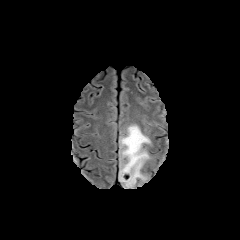
FLAIR magnetic resonance.
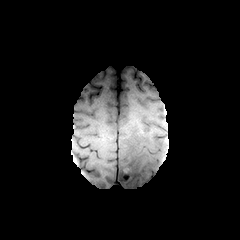
T1-weighted magnetic resonance.
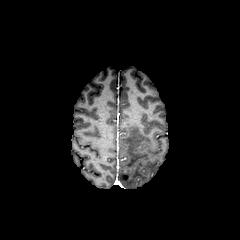
Post-contrast T1-weighted MRI.
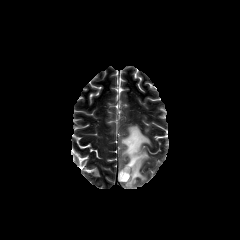
Same slice, T2-weighted MR.
Axial slice, Head
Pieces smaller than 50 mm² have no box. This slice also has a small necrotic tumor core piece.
peritumoral edema: 119:125:150:188